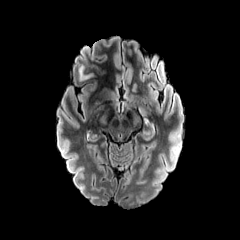
FLAIR MR.
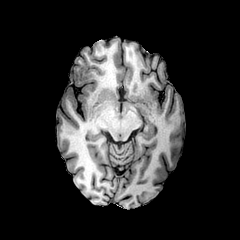
T1-weighted MR.
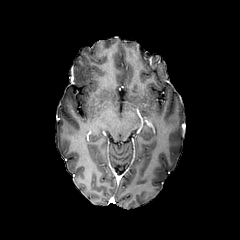
Post-contrast T1-weighted MR image.
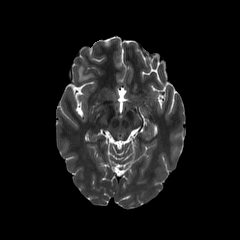
T2-weighted MR image of the same slice.
Axial plane | Head
peritumoral edema: (left=79, top=65, right=92, bottom=80)